FLAIR MR image.
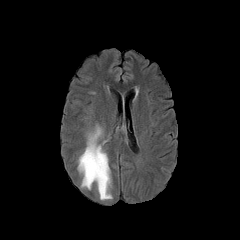
T1-weighted MR.
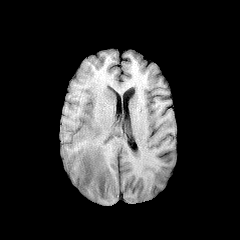
Post-contrast T1-weighted MR image.
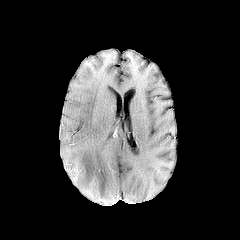
T2-weighted MRI.
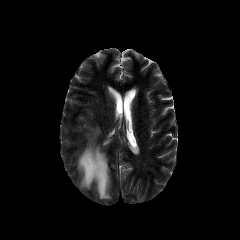
Axial view | Brain | Image size 240x240
peritumoral edema: (x1=77, y1=125, x2=111, y2=199)